Axial slice; Image width 240 mm
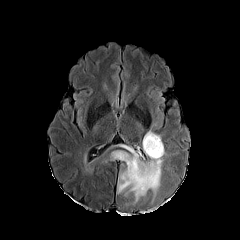
FLAIR MR image.
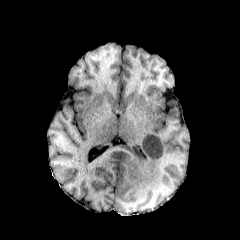
T1-weighted MR of the same slice.
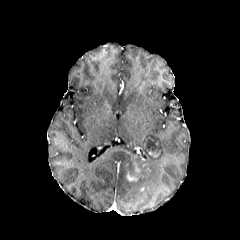
Post-contrast T1-weighted MR image of the same slice.
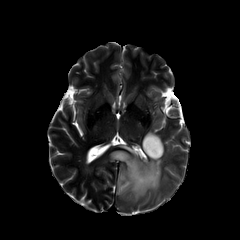
T2-weighted MRI.
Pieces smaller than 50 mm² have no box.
* enhancing tumor: [127,172,138,181], [149,151,159,157]
* necrotic tumor core: [146,138,160,153], [129,162,140,178]
* peritumoral edema: [111,131,164,201]